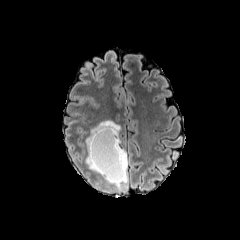
FLAIR MR.
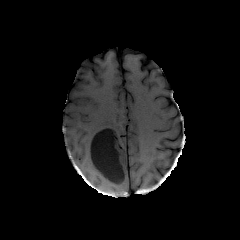
T1-weighted MRI of the same slice.
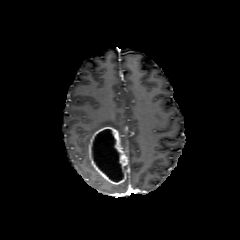
Same slice, post-contrast T1-weighted magnetic resonance.
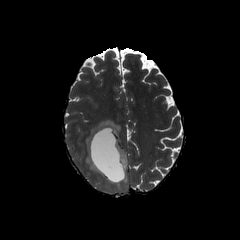
Same slice, T2-weighted MRI.
Axial plane
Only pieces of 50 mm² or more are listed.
<segmentation>
  <peritumoral_edema>85, 120, 120, 180; 116, 165, 127, 186</peritumoral_edema>
  <necrotic_tumor_core>92, 129, 123, 181</necrotic_tumor_core>
  <enhancing_tumor>88, 126, 128, 184</enhancing_tumor>
</segmentation>